FLAIR MRI.
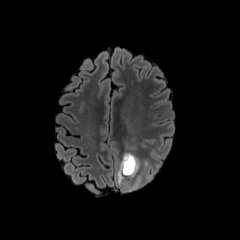
T1-weighted MR.
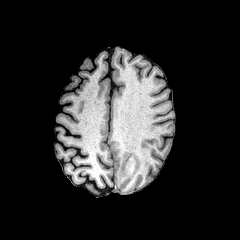
Post-contrast T1-weighted MR.
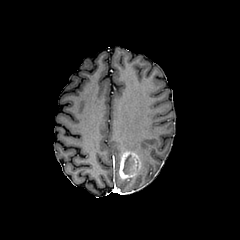
T2-weighted MR.
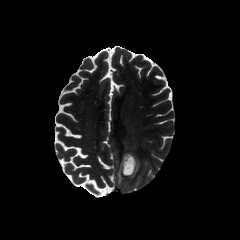
240x240. Brain.
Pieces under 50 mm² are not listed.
necrotic tumor core: (122, 156, 131, 174) | enhancing tumor: (119, 152, 140, 179) | peritumoral edema: (117, 161, 125, 185)